FLAIR magnetic resonance.
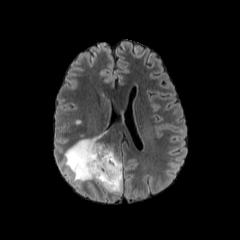
T1-weighted magnetic resonance.
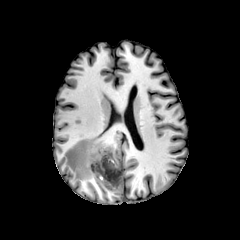
Post-contrast T1-weighted MR.
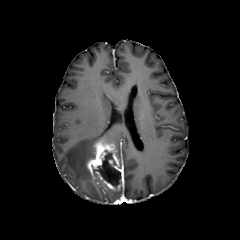
T2-weighted MR.
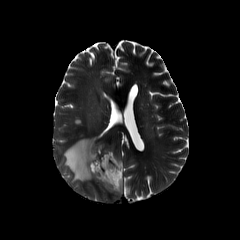
Axial slice | 240x240
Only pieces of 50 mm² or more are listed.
The enhancing tumor is bounded by rect(86, 140, 122, 190). The 2 largest peritumoral edema regions are located at rect(64, 136, 100, 181); rect(99, 183, 122, 194). The necrotic tumor core is at rect(93, 150, 120, 187).